FLAIR MRI.
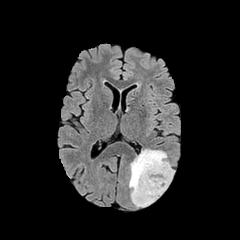
T1-weighted MR image.
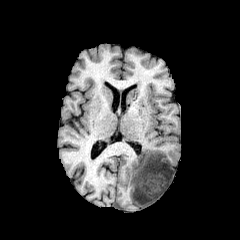
Post-contrast T1-weighted MRI.
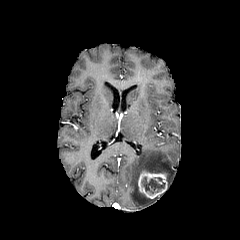
T2-weighted MR image.
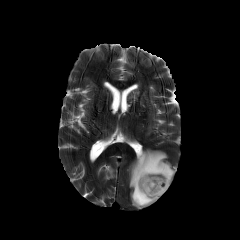
Head
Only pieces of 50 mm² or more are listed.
The necrotic tumor core is bounded by 142,177,164,193. The largest enhancing tumor region is bounded by 138,170,167,198. The peritumoral edema appears at 129,149,174,207.